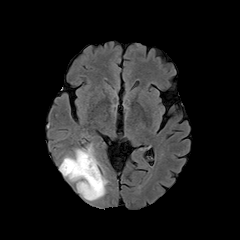
FLAIR magnetic resonance.
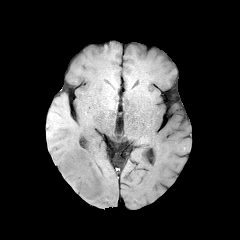
Same slice, T1-weighted magnetic resonance.
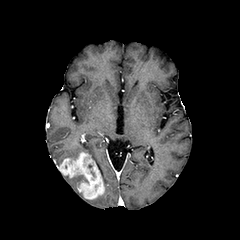
Post-contrast T1-weighted MR image.
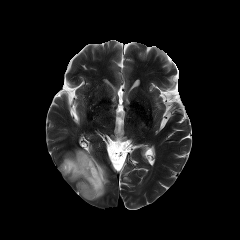
T2-weighted magnetic resonance of the same slice.
Axial plane; Brain
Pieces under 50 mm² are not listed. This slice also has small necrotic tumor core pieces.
The 2 largest peritumoral edema regions appear at box=[63, 144, 108, 200]; box=[64, 175, 88, 187]. The enhancing tumor lies within box=[59, 152, 104, 199].